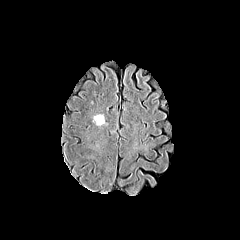
FLAIR MR.
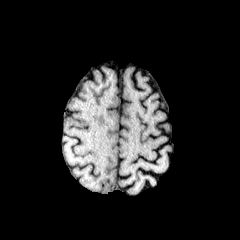
T1-weighted MRI of the same slice.
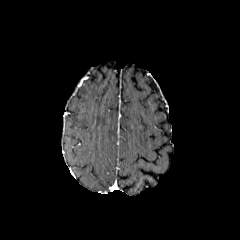
Post-contrast T1-weighted MR image of the same slice.
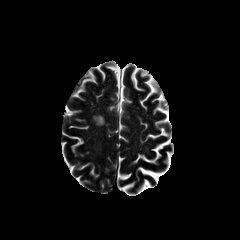
T2-weighted MR image.
Image size 240x240. Head. Axial plane.
The peritumoral edema is at bbox=[96, 116, 104, 123].